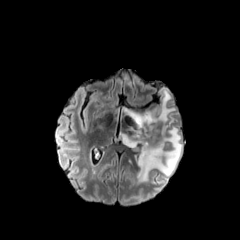
FLAIR MRI.
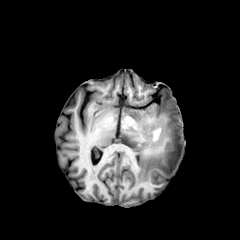
Same slice, T1-weighted MR image.
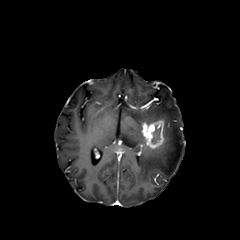
Post-contrast T1-weighted MRI.
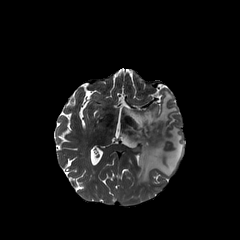
T2-weighted MR.
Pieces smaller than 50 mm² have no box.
peritumoral edema = l=122, t=89, r=183, b=182
necrotic tumor core = l=151, t=126, r=161, b=143
enhancing tumor = l=140, t=119, r=164, b=150